FLAIR magnetic resonance.
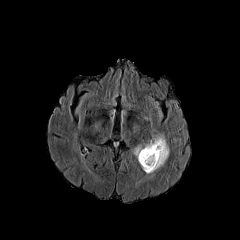
T1-weighted MR.
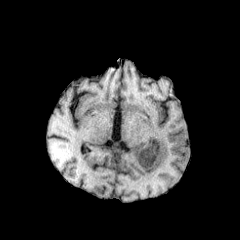
Post-contrast T1-weighted MR image.
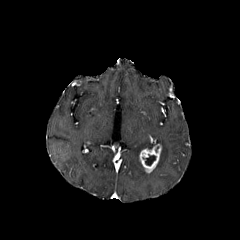
T2-weighted magnetic resonance.
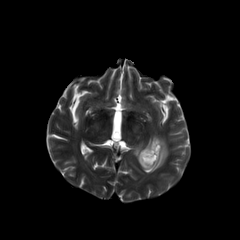
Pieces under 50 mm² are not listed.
{"enhancing_tumor": ["(x1=139, y1=144, x2=161, y2=173)"], "necrotic_tumor_core": ["(x1=142, y1=154, x2=156, y2=165)"], "peritumoral_edema": ["(x1=133, y1=133, x2=169, y2=172)"]}